Axial view
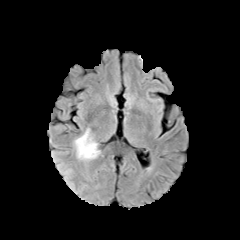
FLAIR MR.
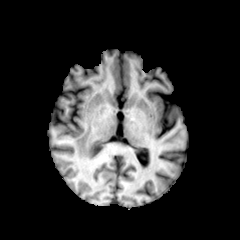
T1-weighted magnetic resonance.
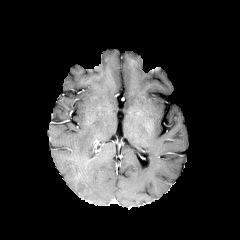
Post-contrast T1-weighted MRI of the same slice.
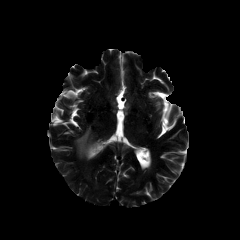
T2-weighted MR image.
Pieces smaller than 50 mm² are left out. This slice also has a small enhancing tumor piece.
peritumoral_edema:
  - box(74, 129, 99, 159)